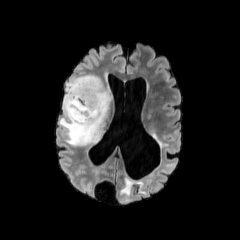
FLAIR magnetic resonance.
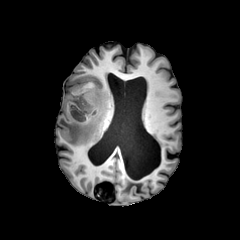
T1-weighted MR image of the same slice.
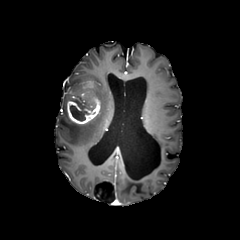
Post-contrast T1-weighted MRI.
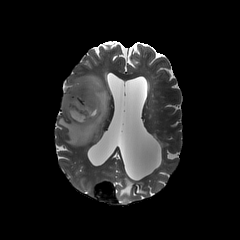
T2-weighted MR image.
Axial slice; 240x240 px
enhancing tumor: l=67, t=92, r=100, b=124 | necrotic tumor core: l=70, t=96, r=94, b=121 | peritumoral edema: l=58, t=75, r=110, b=145